FLAIR MR image.
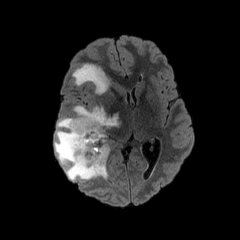
T1-weighted magnetic resonance.
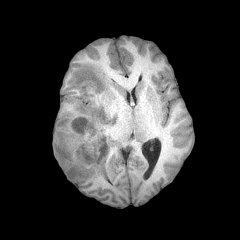
Post-contrast T1-weighted MRI.
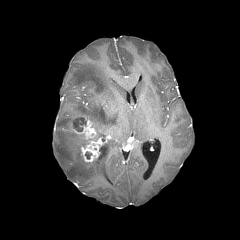
T2-weighted MRI.
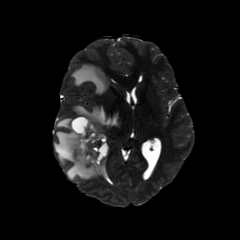
Head
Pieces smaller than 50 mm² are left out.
necrotic tumor core — region(73, 118, 86, 131)
enhancing tumor — region(71, 116, 105, 162)
peritumoral edema — region(54, 105, 118, 180); region(72, 63, 109, 94)